FLAIR magnetic resonance.
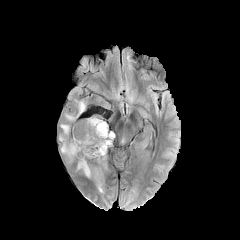
T1-weighted MR.
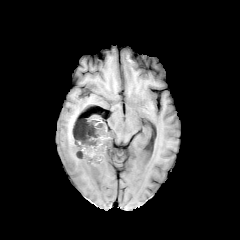
Post-contrast T1-weighted MRI.
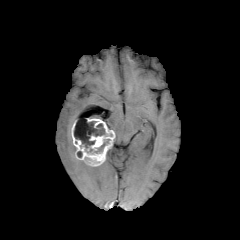
T2-weighted MRI.
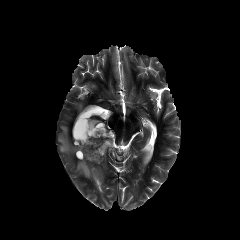
Axial plane | 240x240
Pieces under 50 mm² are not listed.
enhancing tumor: [x1=71, y1=118, x2=115, y2=166]
peritumoral edema: [x1=78, y1=102, x2=84, y2=113], [x1=77, y1=160, x2=101, y2=189], [x1=59, y1=124, x2=76, y2=159]
necrotic tumor core: [x1=74, y1=118, x2=109, y2=153]